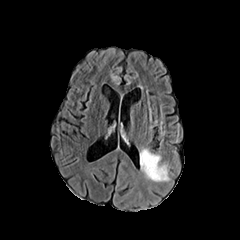
FLAIR MR.
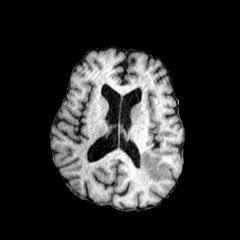
T1-weighted magnetic resonance.
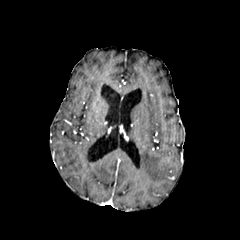
Same slice, post-contrast T1-weighted MR.
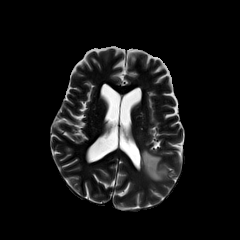
T2-weighted MR.
The peritumoral edema appears at l=140, t=149, r=169, b=181.